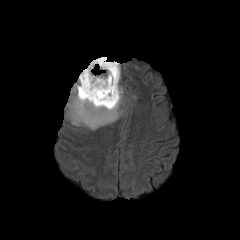
FLAIR MRI.
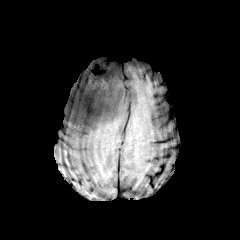
Same slice, T1-weighted MRI.
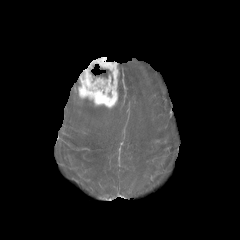
Post-contrast T1-weighted magnetic resonance.
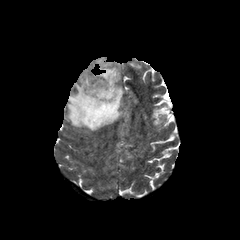
T2-weighted MR.
Head; 240x240 px
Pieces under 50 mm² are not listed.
• enhancing tumor: rect(78, 57, 119, 108)
• necrotic tumor core: rect(95, 68, 110, 78)
• peritumoral edema: rect(66, 63, 124, 130)